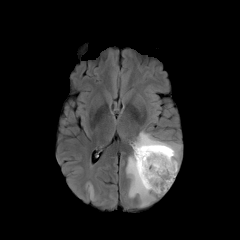
FLAIR MRI.
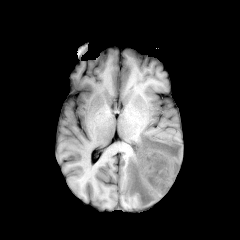
Same slice, T1-weighted MR.
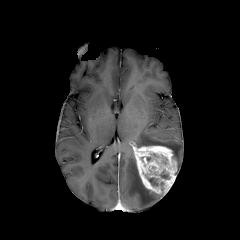
Post-contrast T1-weighted MR.
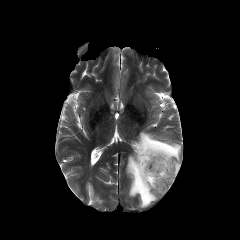
Same slice, T2-weighted MR image.
Axial view
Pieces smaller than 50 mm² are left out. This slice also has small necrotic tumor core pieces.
The enhancing tumor is located at <box>133,145,177,194</box>. 2 peritumoral edema regions are bounded by <box>133,131,181,170</box>, <box>126,151,167,207</box>.